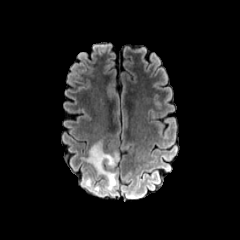
FLAIR MR image.
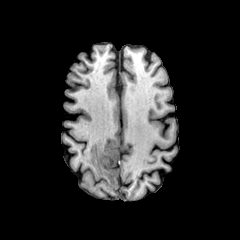
T1-weighted magnetic resonance of the same slice.
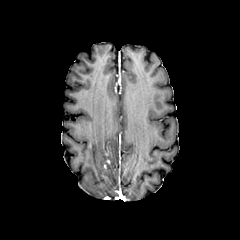
Post-contrast T1-weighted MR.
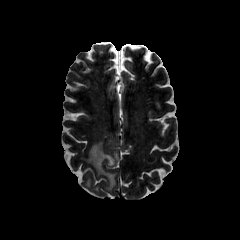
T2-weighted MRI of the same slice.
Axial view, Head
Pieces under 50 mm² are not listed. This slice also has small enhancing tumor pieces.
peritumoral edema: bbox(84, 177, 99, 193); bbox(82, 140, 118, 190)